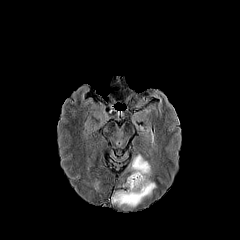
FLAIR magnetic resonance.
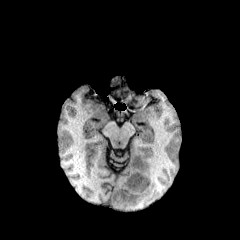
Same slice, T1-weighted MRI.
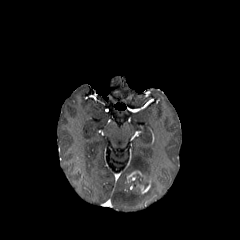
Post-contrast T1-weighted MR image of the same slice.
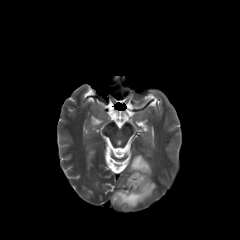
T2-weighted magnetic resonance.
Axial plane. 240x240 px.
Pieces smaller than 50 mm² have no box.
necrotic_tumor_core:
  - x1=129, y1=174, x2=148, y2=188
enhancing_tumor:
  - x1=127, y1=171, x2=150, y2=193
peritumoral_edema:
  - x1=111, y1=181, x2=156, y2=207
  - x1=129, y1=154, x2=151, y2=180